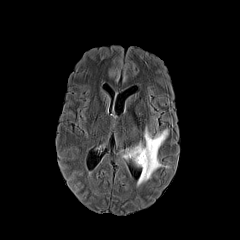
FLAIR MRI.
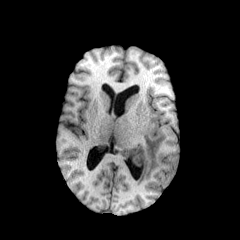
T1-weighted MR image.
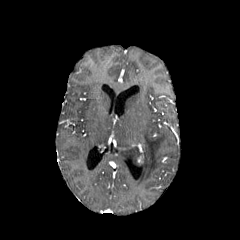
Post-contrast T1-weighted MRI of the same slice.
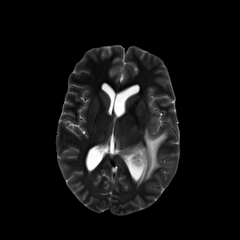
Same slice, T2-weighted MRI.
Brain
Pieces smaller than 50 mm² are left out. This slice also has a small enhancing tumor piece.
- peritumoral edema: 122:128:167:185